FLAIR MR.
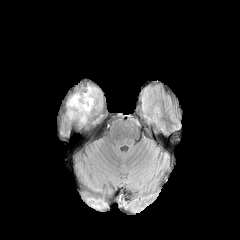
T1-weighted MR.
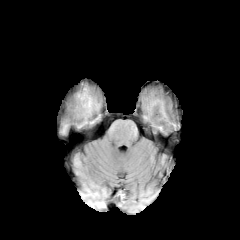
Post-contrast T1-weighted magnetic resonance.
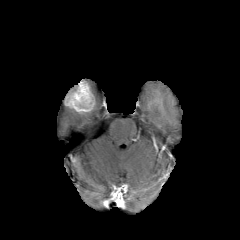
T2-weighted magnetic resonance.
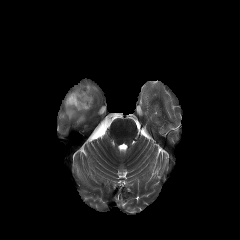
Head.
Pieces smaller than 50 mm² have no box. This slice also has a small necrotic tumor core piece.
The enhancing tumor is bounded by (left=65, top=82, right=93, bottom=112). The 2 largest peritumoral edema regions are bounded by (left=67, top=107, right=78, bottom=119), (left=79, top=112, right=88, bottom=121).